240x240 px, Image width 240 mm, 1.00 mm slice spacing
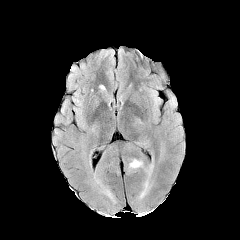
FLAIR MRI.
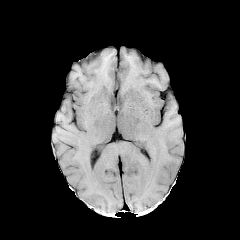
T1-weighted MRI of the same slice.
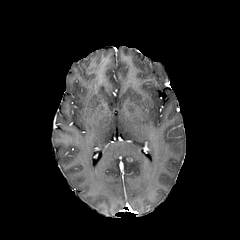
Post-contrast T1-weighted MRI.
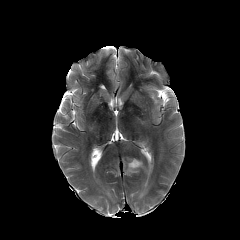
T2-weighted MR image.
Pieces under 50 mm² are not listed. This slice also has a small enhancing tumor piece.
peritumoral edema: (left=128, top=159, right=142, bottom=171)